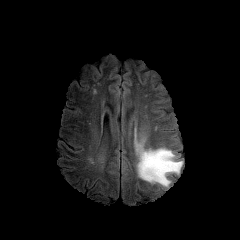
FLAIR MR image.
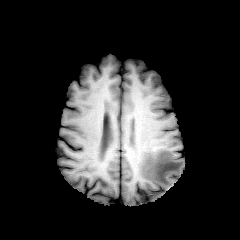
Same slice, T1-weighted magnetic resonance.
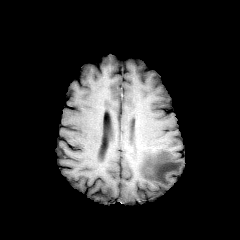
Post-contrast T1-weighted MR.
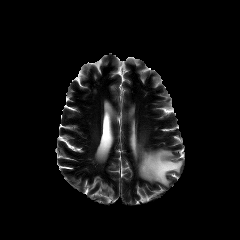
T2-weighted magnetic resonance.
Head, Axial view
peritumoral edema: bounding box <box>135,144,183,186</box>